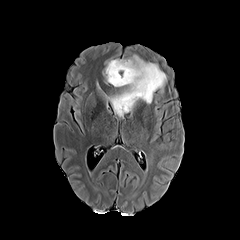
FLAIR MRI.
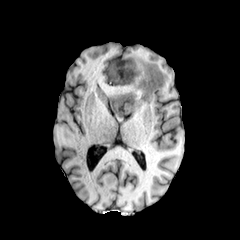
T1-weighted MR.
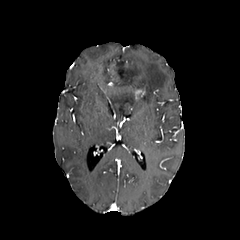
Post-contrast T1-weighted MR of the same slice.
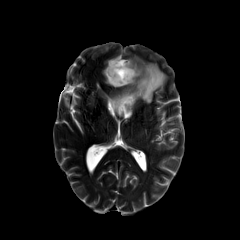
T2-weighted MR of the same slice.
240x240 px | Axial view | Brain
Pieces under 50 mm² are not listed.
The necrotic tumor core appears at [113,60,126,96]. The 2 largest enhancing tumor regions are bounded by [135,89,144,99], [108,61,118,85]. The 2 largest peritumoral edema regions appear at [105,53,168,119], [102,56,120,83].